FLAIR MR.
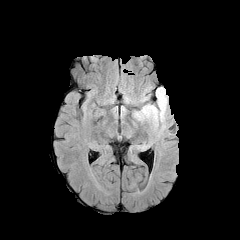
T1-weighted MR.
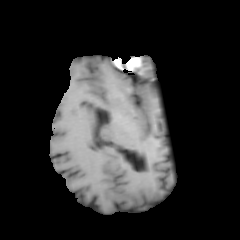
Post-contrast T1-weighted MR.
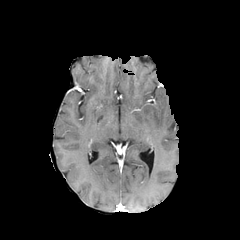
T2-weighted magnetic resonance.
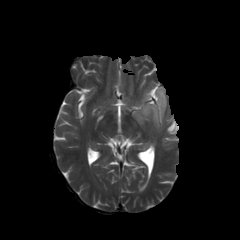
Brain; Axial plane
peritumoral_edema:
  - 141:88:151:101
  - 133:87:165:129